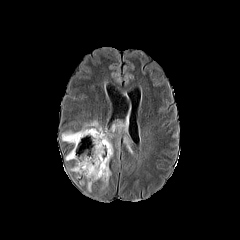
FLAIR MR.
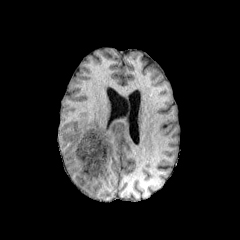
T1-weighted MR.
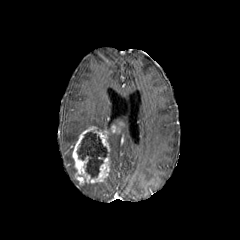
Post-contrast T1-weighted MR image of the same slice.
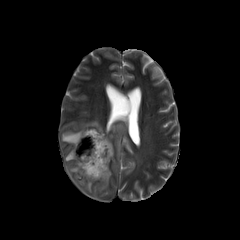
T2-weighted MRI of the same slice.
240x240 px, Head
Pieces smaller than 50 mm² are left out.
2 enhancing tumor regions are located at <box>111,122,123,133</box>, <box>72,126,110,184</box>. The necrotic tumor core is at <box>77,132,107,177</box>. The 5 largest peritumoral edema regions appear at <box>62,120,102,144</box>, <box>108,138,113,158</box>, <box>101,171,111,189</box>, <box>65,150,72,161</box>, <box>124,137,132,153</box>.